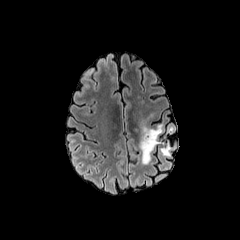
FLAIR MRI.
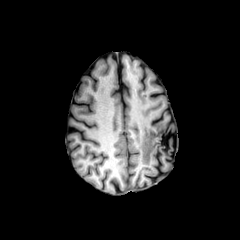
T1-weighted MRI.
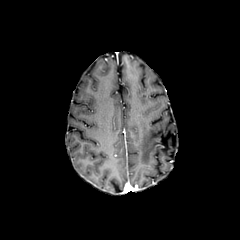
Post-contrast T1-weighted MR image.
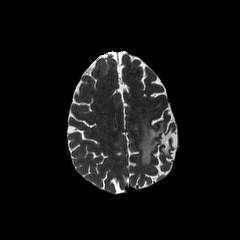
T2-weighted MRI of the same slice.
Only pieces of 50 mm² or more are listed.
peritumoral edema: bbox=[139, 124, 171, 164]